240x240 px; Brain
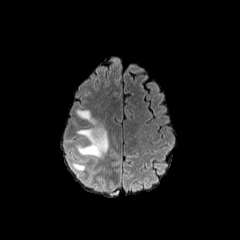
FLAIR magnetic resonance.
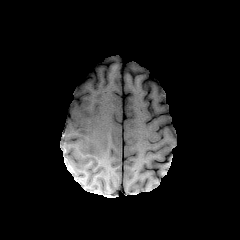
T1-weighted MR.
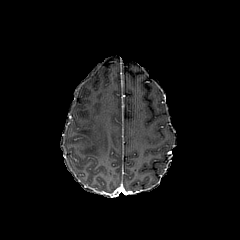
Post-contrast T1-weighted MRI.
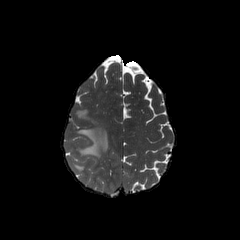
T2-weighted MR image.
Findings:
* peritumoral edema: x1=72, y1=163, x2=85, y2=170; x1=76, y1=109, x2=108, y2=157